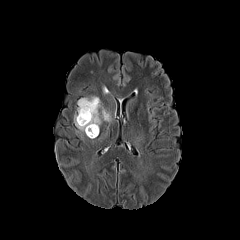
FLAIR MR image.
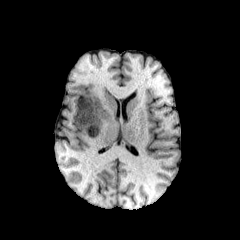
T1-weighted MR.
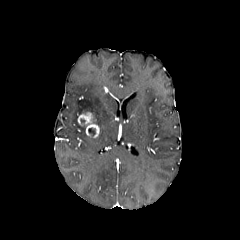
Post-contrast T1-weighted magnetic resonance.
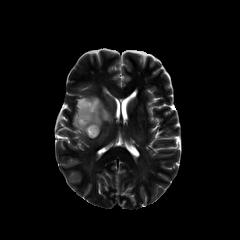
T2-weighted MR of the same slice.
Brain | Axial plane
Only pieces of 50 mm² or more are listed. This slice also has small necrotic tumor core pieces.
peritumoral edema at 74:113:85:132, 77:96:111:126
enhancing tumor at 77:111:99:137